FLAIR MRI.
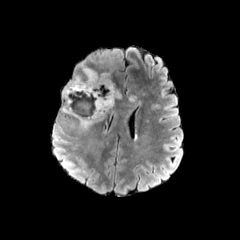
T1-weighted MR image.
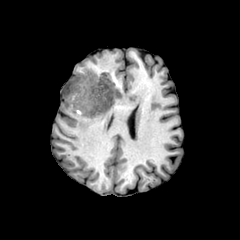
Post-contrast T1-weighted MR image.
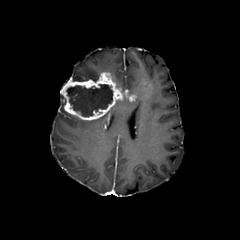
T2-weighted MR image.
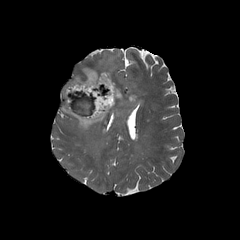
Axial view
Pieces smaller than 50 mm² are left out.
The necrotic tumor core is located at l=66, t=84, r=112, b=116. The 3 largest peritumoral edema regions are bounded by l=61, t=102, r=106, b=131; l=129, t=95, r=142, b=105; l=72, t=64, r=100, b=80. The largest enhancing tumor region appears at l=61, t=72, r=123, b=120.